240x240
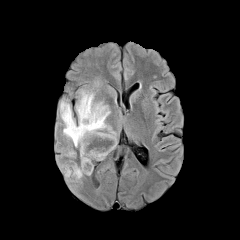
FLAIR MRI.
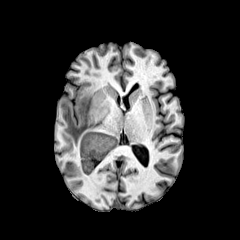
T1-weighted MR of the same slice.
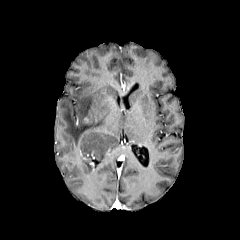
Post-contrast T1-weighted magnetic resonance.
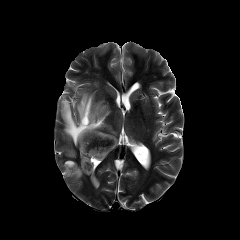
Same slice, T2-weighted MR image.
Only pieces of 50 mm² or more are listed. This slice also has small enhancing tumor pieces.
The 2 largest peritumoral edema regions are located at x1=65 y1=150 x2=75 y2=156, x1=60 y1=89 x2=116 y2=179.